Slice 70 of 155; Brain
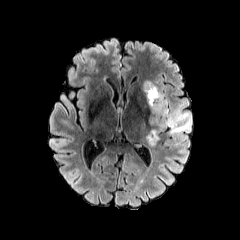
FLAIR MR.
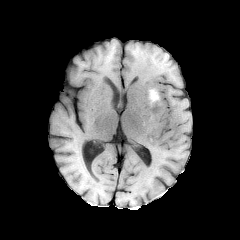
T1-weighted MRI.
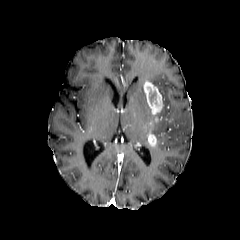
Same slice, post-contrast T1-weighted MRI.
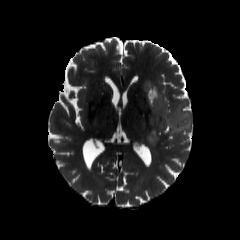
T2-weighted MR.
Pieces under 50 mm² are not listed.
The necrotic tumor core is located at [150, 91, 156, 103]. The largest peritumoral edema region appears at [148, 83, 191, 144]. 2 enhancing tumor regions are located at [143, 81, 163, 116], [147, 122, 157, 146].